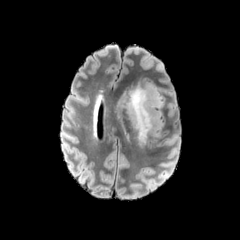
FLAIR MR.
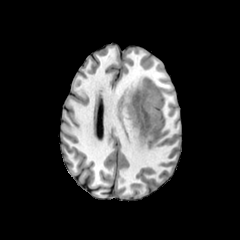
Same slice, T1-weighted magnetic resonance.
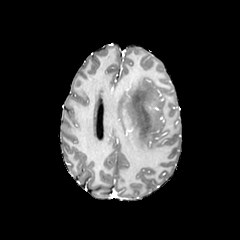
Post-contrast T1-weighted magnetic resonance.
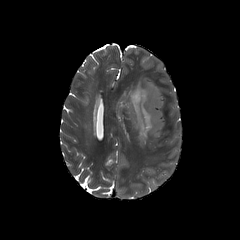
T2-weighted MRI of the same slice.
Image size 240x240. Axial view.
The peritumoral edema is at box(120, 77, 163, 146).